Axial plane; Slice 66 of 155; 240x240
FLAIR magnetic resonance.
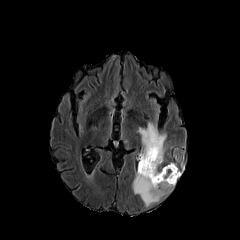
T1-weighted MR image.
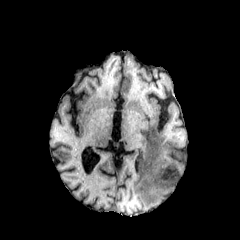
Post-contrast T1-weighted MR image.
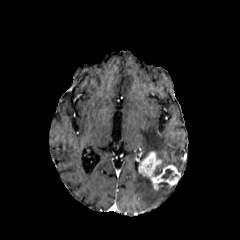
T2-weighted MRI.
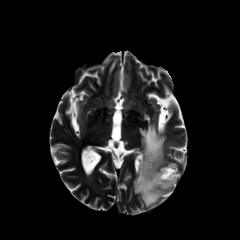
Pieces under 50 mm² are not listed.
Segmented structures:
* necrotic tumor core: (x1=154, y1=165, x2=162, y2=176), (x1=161, y1=169, x2=172, y2=178)
* peritumoral edema: (x1=133, y1=172, x2=173, y2=206), (x1=139, y1=122, x2=166, y2=161)
* enhancing tumor: (x1=138, y1=151, x2=180, y2=189)